FLAIR MR image.
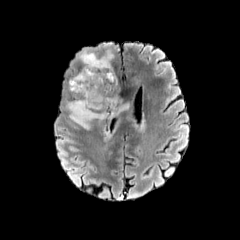
T1-weighted magnetic resonance.
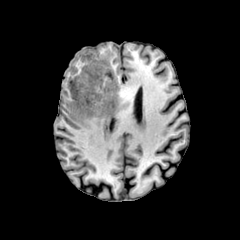
Post-contrast T1-weighted MR.
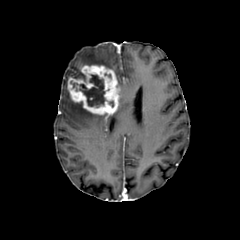
T2-weighted magnetic resonance.
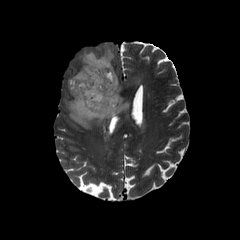
240x240, Axial plane
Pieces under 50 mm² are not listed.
{
  "peritumoral_edema": [
    "[79,49,114,69]",
    "[66,100,106,129]",
    "[107,98,129,119]",
    "[72,72,85,81]"
  ],
  "enhancing_tumor": [
    "[67,65,119,116]"
  ],
  "necrotic_tumor_core": [
    "[79,74,105,106]"
  ]
}